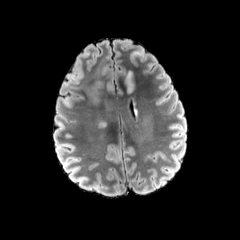
FLAIR MR.
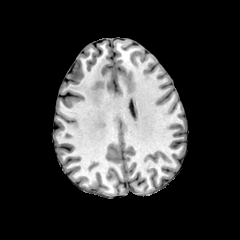
T1-weighted magnetic resonance of the same slice.
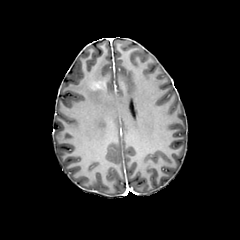
Post-contrast T1-weighted MRI.
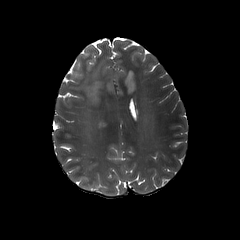
T2-weighted MR image.
Axial plane; Image size 240x240
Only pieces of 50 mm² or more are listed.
enhancing tumor: box=[91, 79, 106, 91] | peritumoral edema: box=[76, 57, 113, 129]; box=[124, 70, 136, 93]; box=[117, 84, 123, 98]